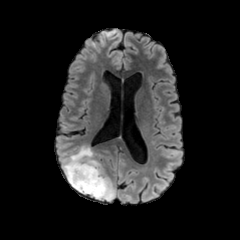
FLAIR MR image.
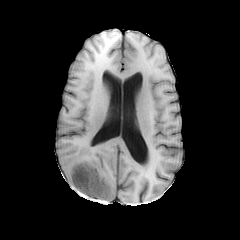
T1-weighted MR.
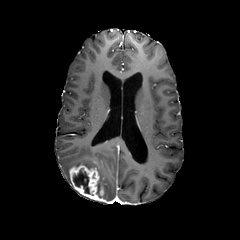
Post-contrast T1-weighted MR.
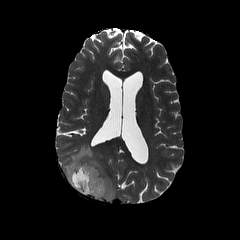
T2-weighted MR image of the same slice.
Brain
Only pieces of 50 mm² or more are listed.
The largest peritumoral edema region is located at 62, 145, 115, 201. The largest necrotic tumor core region is at 73, 168, 89, 193. The largest enhancing tumor region is bounded by 69, 165, 104, 200.